Slice 89 of 155
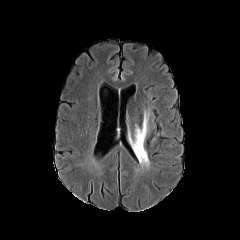
FLAIR MR.
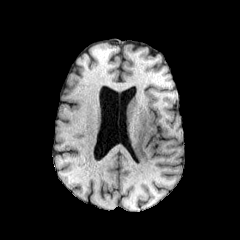
T1-weighted MR.
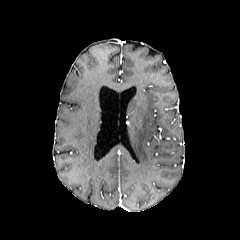
Same slice, post-contrast T1-weighted MR image.
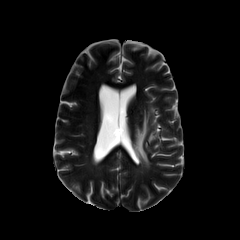
T2-weighted MR image of the same slice.
The peritumoral edema is bounded by box(130, 111, 149, 167).